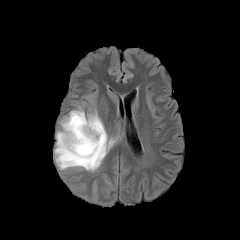
FLAIR MRI.
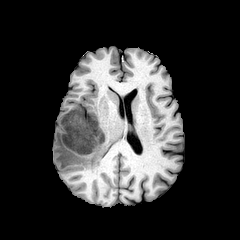
Same slice, T1-weighted MR image.
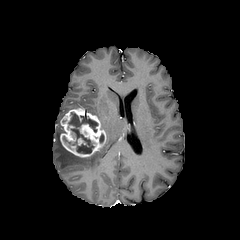
Same slice, post-contrast T1-weighted MRI.
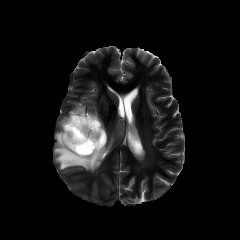
Same slice, T2-weighted MRI.
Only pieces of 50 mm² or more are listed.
enhancing tumor = [60,107,106,157]
peritumoral edema = [54,127,113,171]
necrotic tumor core = [69,113,97,153]